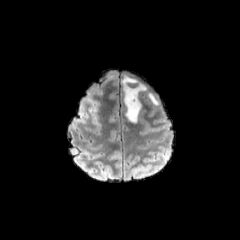
FLAIR MR image.
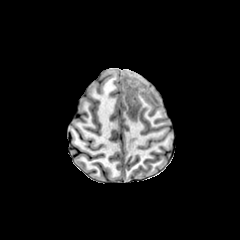
T1-weighted MR image.
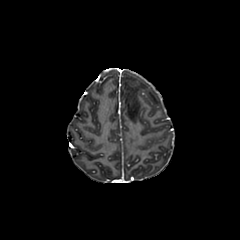
Post-contrast T1-weighted MR.
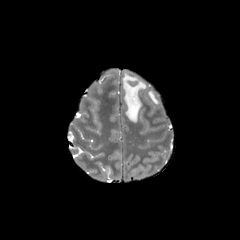
Same slice, T2-weighted MR.
Axial plane; 240x240 px
2 peritumoral edema regions are bounded by bbox=[149, 93, 158, 104]; bbox=[123, 75, 145, 122].